Slice 104 of 155.
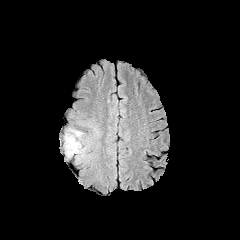
FLAIR MR image.
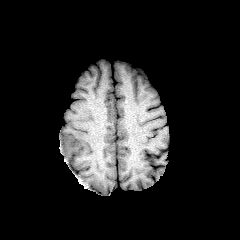
T1-weighted MR.
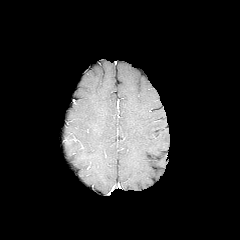
Post-contrast T1-weighted MR image of the same slice.
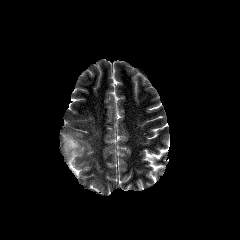
Same slice, T2-weighted MR image.
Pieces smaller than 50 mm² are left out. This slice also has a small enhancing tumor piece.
The largest peritumoral edema region appears at <bbox>63, 129, 89, 163</bbox>.